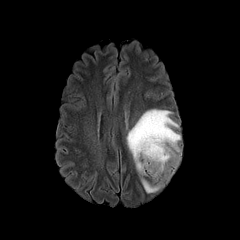
FLAIR MR.
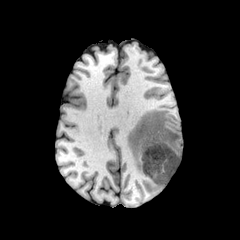
T1-weighted MR image of the same slice.
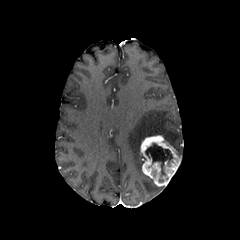
Post-contrast T1-weighted magnetic resonance.
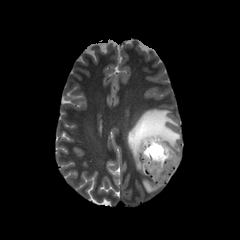
T2-weighted MR image.
240x240 px | Brain | Axial slice
{
  "enhancing_tumor": [
    "(140, 135, 181, 186)"
  ],
  "peritumoral_edema": [
    "(126, 109, 180, 174)",
    "(141, 178, 160, 192)"
  ],
  "necrotic_tumor_core": [
    "(145, 143, 172, 174)"
  ]
}